Axial view, Head
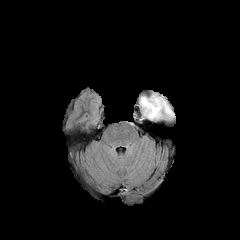
FLAIR MRI.
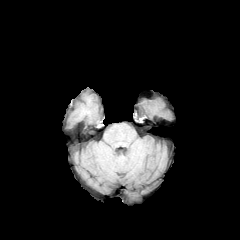
T1-weighted magnetic resonance of the same slice.
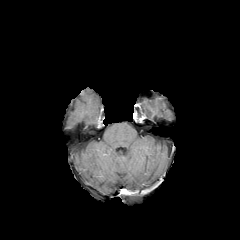
Post-contrast T1-weighted magnetic resonance.
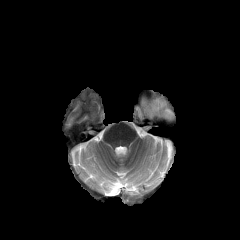
Same slice, T2-weighted MR.
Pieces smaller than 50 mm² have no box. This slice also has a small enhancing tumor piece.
Annotated regions:
* peritumoral edema: l=140, t=93, r=174, b=119